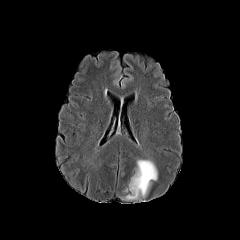
FLAIR MR image.
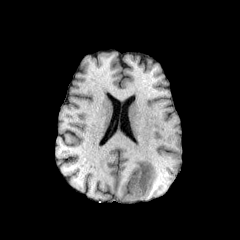
T1-weighted MR image of the same slice.
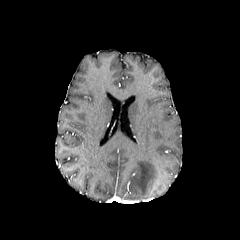
Same slice, post-contrast T1-weighted MR.
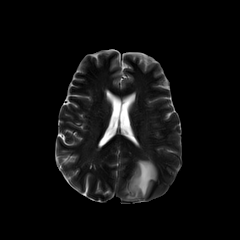
Same slice, T2-weighted MR image.
240x240 px. Axial view.
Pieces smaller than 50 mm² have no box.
The largest peritumoral edema region is at 125, 159, 157, 199.